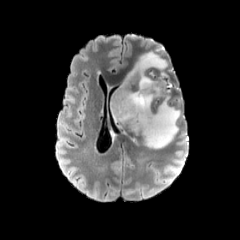
FLAIR MRI.
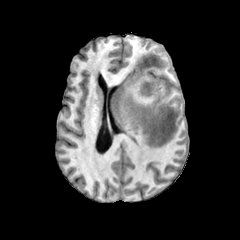
T1-weighted MRI.
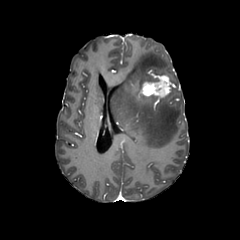
Same slice, post-contrast T1-weighted MRI.
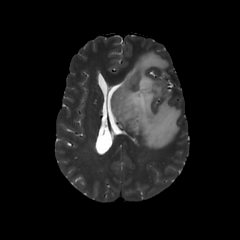
T2-weighted magnetic resonance.
{
  "enhancing_tumor": [
    "<bbox>140, 75, 173, 98</bbox>"
  ],
  "peritumoral_edema": [
    "<bbox>111, 51, 180, 148</bbox>"
  ]
}